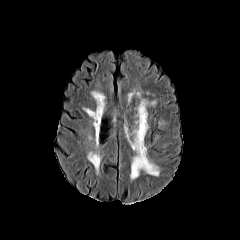
FLAIR MRI.
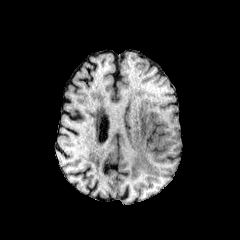
T1-weighted magnetic resonance.
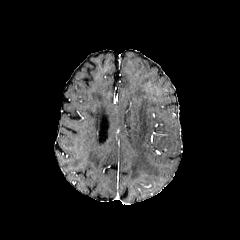
Post-contrast T1-weighted MRI.
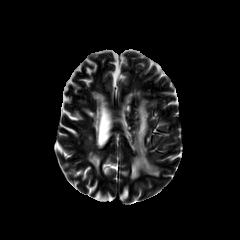
T2-weighted MR.
Image size 240x240, Brain
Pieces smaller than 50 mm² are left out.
The largest peritumoral edema region is bounded by [129,100,159,179].